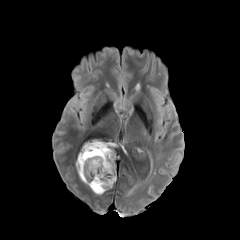
FLAIR MR image.
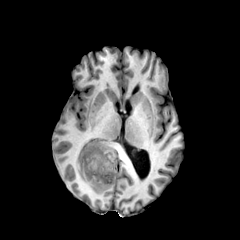
Same slice, T1-weighted magnetic resonance.
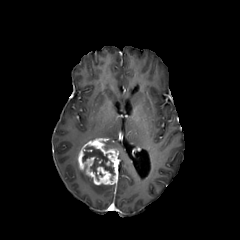
Post-contrast T1-weighted MRI.
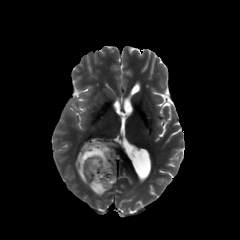
Same slice, T2-weighted MR image.
Head; Image size 240x240
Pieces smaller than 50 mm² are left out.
<segmentation>
  <necrotic_tumor_core>x1=82 y1=146 x2=114 y2=176</necrotic_tumor_core>
  <enhancing_tumor>x1=78 y1=139 x2=117 y2=185</enhancing_tumor>
  <peritumoral_edema>x1=103 y1=142 x2=115 y2=149, x1=76 y1=159 x2=112 y2=194</peritumoral_edema>
</segmentation>